Slice 122 of 155, Head
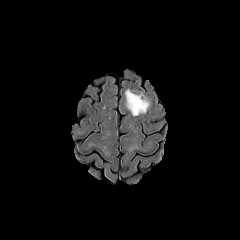
FLAIR MRI.
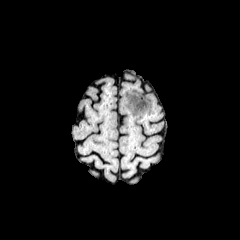
Same slice, T1-weighted MR.
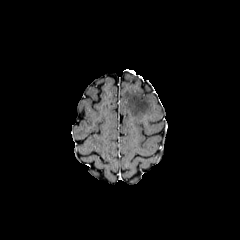
Post-contrast T1-weighted MR.
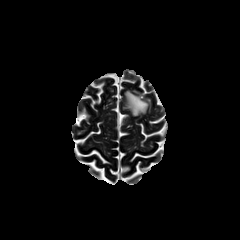
Same slice, T2-weighted MRI.
The peritumoral edema lies within box(125, 89, 150, 116).